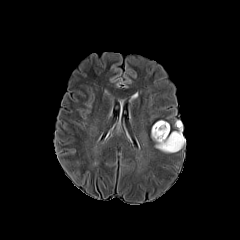
FLAIR magnetic resonance.
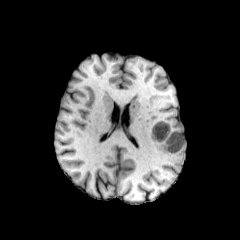
T1-weighted MR.
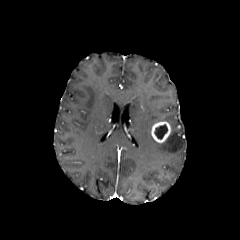
Post-contrast T1-weighted MRI.
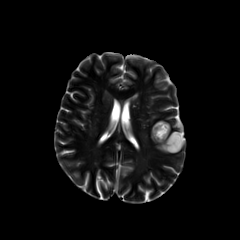
Same slice, T2-weighted MR image.
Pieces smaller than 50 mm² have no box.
The largest enhancing tumor region lies within 151:121:170:143. The largest peritumoral edema region lies within 155:120:185:152. The necrotic tumor core appears at 154:124:167:139.